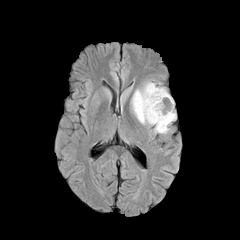
FLAIR MR.
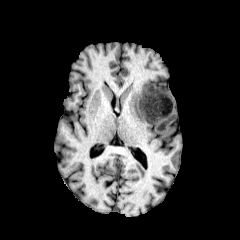
T1-weighted MRI.
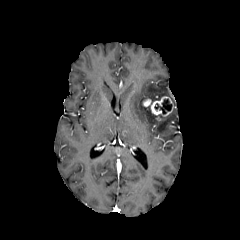
Post-contrast T1-weighted MR.
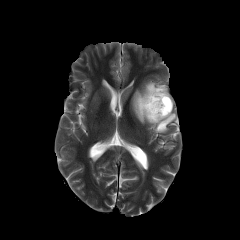
T2-weighted magnetic resonance.
Axial slice; Head
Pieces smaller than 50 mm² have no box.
The peritumoral edema is at box=[132, 82, 176, 133]. The 2 largest enhancing tumor regions are located at box=[149, 96, 173, 116]; box=[143, 98, 151, 107]. The necrotic tumor core is at box=[154, 99, 172, 114].